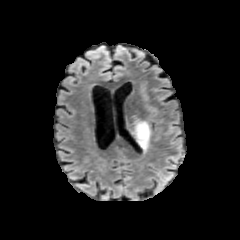
FLAIR MR image.
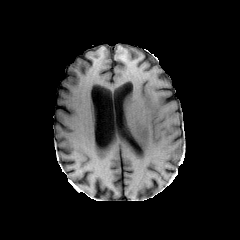
T1-weighted MR of the same slice.
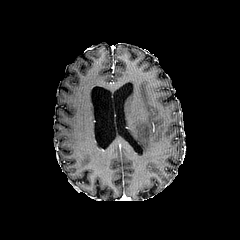
Post-contrast T1-weighted MR image.
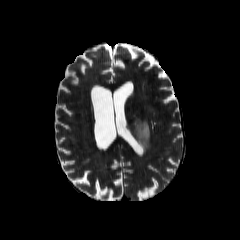
T2-weighted MR of the same slice.
peritumoral edema: (126,115,150,154)